FLAIR MR image.
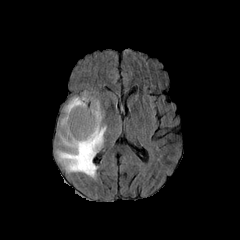
T1-weighted MRI.
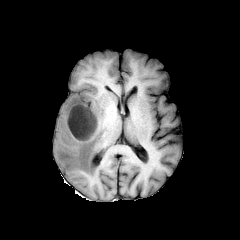
Post-contrast T1-weighted magnetic resonance.
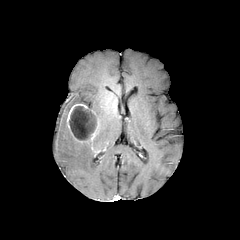
T2-weighted MR image.
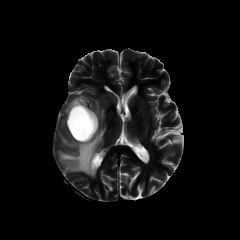
Axial view, Image size 240x240, Head
- necrotic tumor core: (x1=69, y1=106, x2=96, y2=140)
- peritumoral edema: (x1=56, y1=95, x2=106, y2=177)
- enhancing tumor: (x1=67, y1=104, x2=98, y2=142)